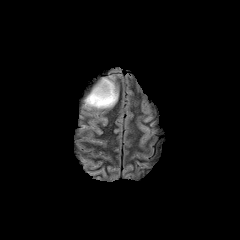
FLAIR magnetic resonance.
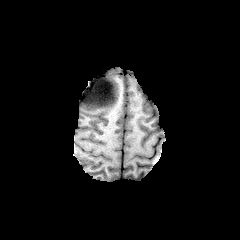
T1-weighted MR.
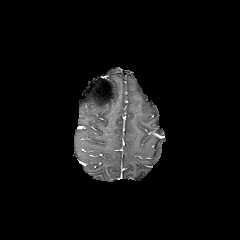
Same slice, post-contrast T1-weighted MR image.
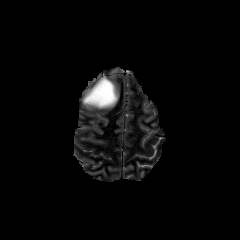
T2-weighted MR.
Axial slice
peritumoral edema: [x1=84, y1=75, x2=118, y2=110] | necrotic tumor core: [x1=93, y1=78, x2=113, y2=102]